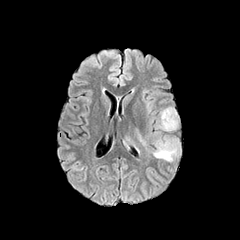
FLAIR magnetic resonance.
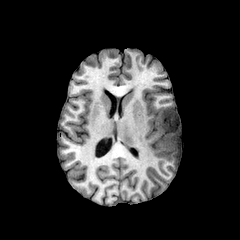
T1-weighted MR of the same slice.
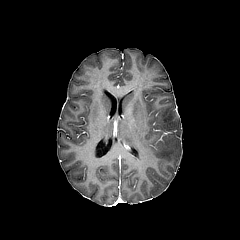
Post-contrast T1-weighted magnetic resonance of the same slice.
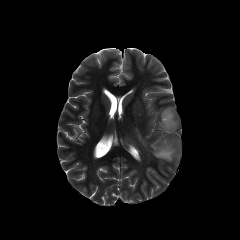
T2-weighted MR of the same slice.
peritumoral edema: x1=152, y1=137, x2=180, y2=161; x1=138, y1=133, x2=146, y2=146; x1=157, y1=107, x2=178, y2=131